FLAIR magnetic resonance.
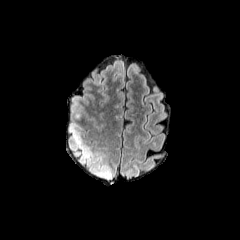
T1-weighted MR.
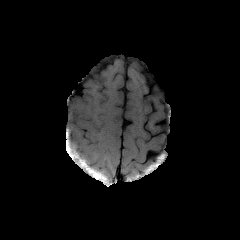
Post-contrast T1-weighted MR.
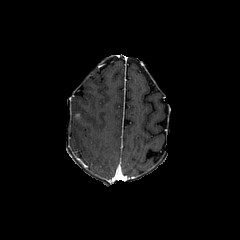
T2-weighted MRI.
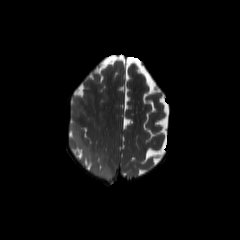
Brain
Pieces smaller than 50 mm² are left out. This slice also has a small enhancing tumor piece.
peritumoral edema: <bbox>70, 123, 112, 179</bbox>